FLAIR magnetic resonance.
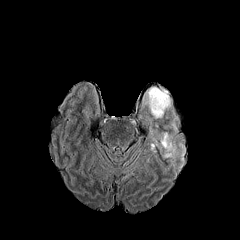
T1-weighted MRI.
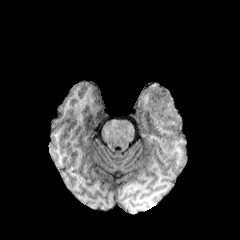
Post-contrast T1-weighted magnetic resonance.
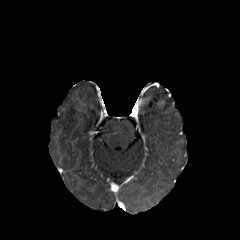
T2-weighted MRI.
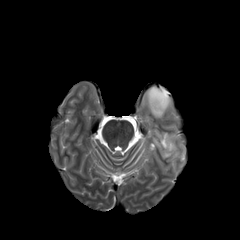
Head | Image size 240x240 | Axial view
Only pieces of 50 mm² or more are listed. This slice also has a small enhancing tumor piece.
peritumoral edema: <bbox>161, 133, 174, 156</bbox>, <bbox>144, 87, 171, 118</bbox>